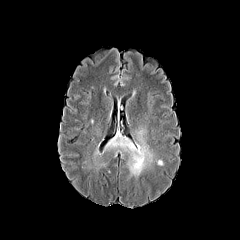
FLAIR magnetic resonance.
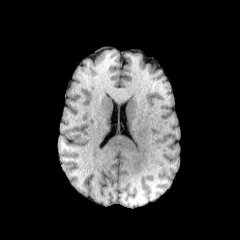
T1-weighted magnetic resonance of the same slice.
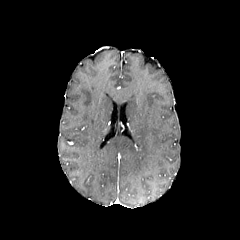
Post-contrast T1-weighted magnetic resonance.
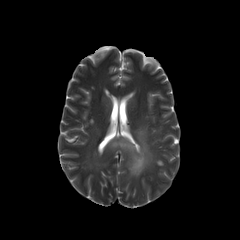
T2-weighted MRI of the same slice.
2 peritumoral edema regions are located at x1=86, y1=147, x2=107, y2=171; x1=103, y1=125, x2=163, y2=178.